Axial view.
FLAIR MRI.
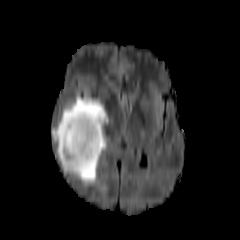
T1-weighted MRI.
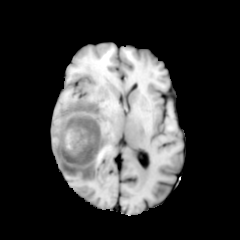
Post-contrast T1-weighted MRI.
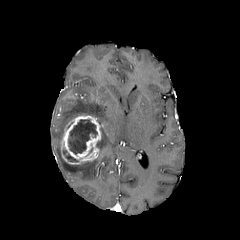
T2-weighted MRI.
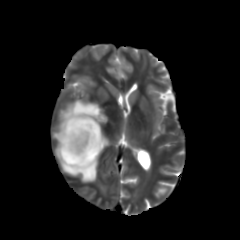
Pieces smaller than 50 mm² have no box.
peritumoral edema: bounding box l=100, t=134, r=106, b=152; l=51, t=95, r=108, b=182
enhancing tumor: bounding box l=60, t=113, r=101, b=164
necrotic tumor core: bounding box l=68, t=120, r=97, b=154; l=63, t=149, r=78, b=162